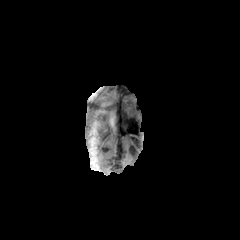
FLAIR MRI.
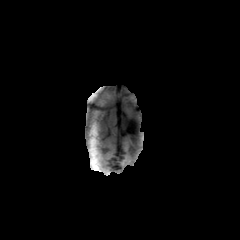
T1-weighted MR.
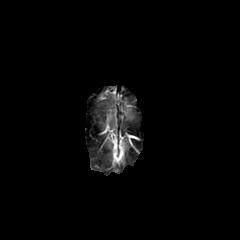
Post-contrast T1-weighted MR.
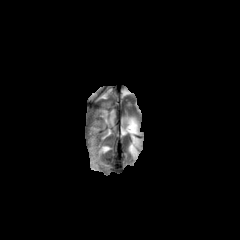
T2-weighted magnetic resonance.
Head. 240x240. Axial view.
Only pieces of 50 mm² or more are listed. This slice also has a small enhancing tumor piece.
Segmented structures:
• peritumoral edema: (left=93, top=91, right=115, bottom=132)